Image size 240x240. Image covers 240 mm x 240 mm. Axial view. Brain.
FLAIR MRI.
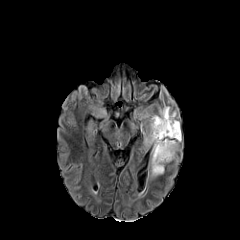
T1-weighted MRI.
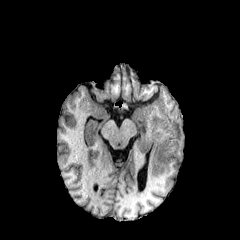
Post-contrast T1-weighted MR.
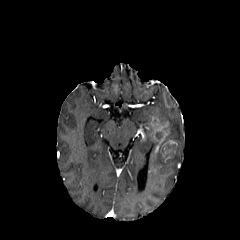
T2-weighted MRI.
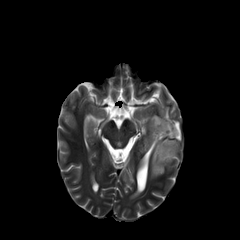
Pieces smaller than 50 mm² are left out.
Findings:
• necrotic tumor core: 152:128:163:144, 153:139:171:159
• peritumoral edema: 146:107:180:143, 151:144:176:176
• enhancing tumor: 151:118:167:154